Axial view. Brain. Slice index 80.
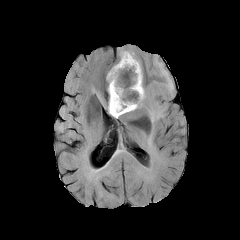
FLAIR magnetic resonance.
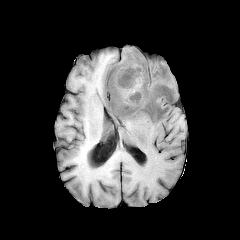
T1-weighted MR image.
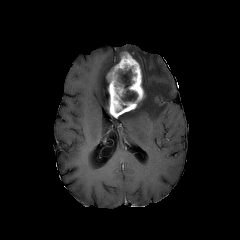
Post-contrast T1-weighted MR of the same slice.
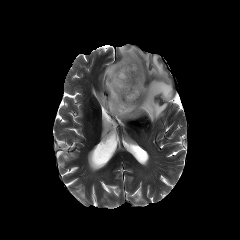
T2-weighted MR image.
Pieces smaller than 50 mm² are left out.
<segmentation>
  <enhancing_tumor>(106, 52, 144, 118)</enhancing_tumor>
  <peritumoral_edema>(118, 46, 174, 128), (147, 132, 152, 147), (96, 93, 108, 109)</peritumoral_edema>
  <necrotic_tumor_core>(121, 89, 137, 101), (124, 69, 132, 83)</necrotic_tumor_core>
</segmentation>